FLAIR magnetic resonance.
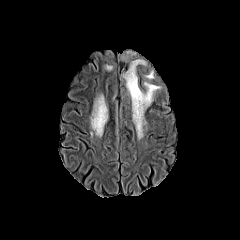
T1-weighted MR image.
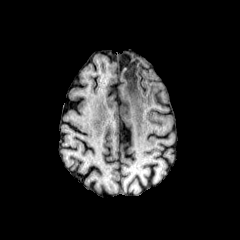
Post-contrast T1-weighted MR.
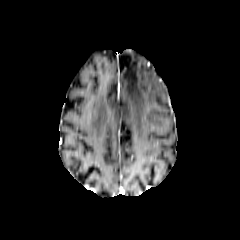
T2-weighted MRI.
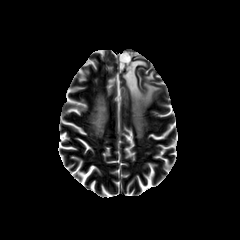
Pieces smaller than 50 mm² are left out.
peritumoral_edema:
  - (91, 96, 107, 135)
  - (121, 52, 160, 138)